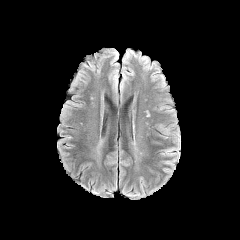
FLAIR MR image.
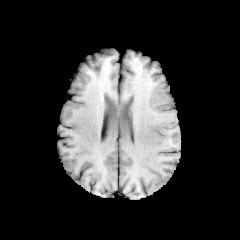
T1-weighted MR image.
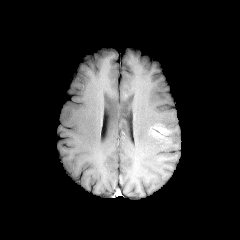
Same slice, post-contrast T1-weighted MR image.
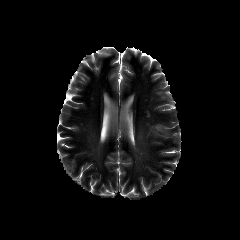
T2-weighted MR.
Head
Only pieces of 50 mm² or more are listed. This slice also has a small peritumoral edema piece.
The enhancing tumor is at region(152, 126, 166, 136).